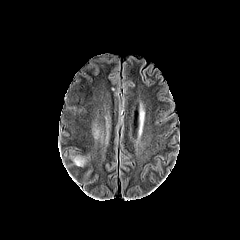
FLAIR MR image.
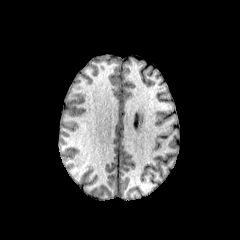
T1-weighted MRI of the same slice.
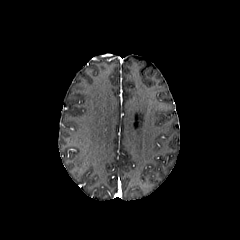
Post-contrast T1-weighted MR.
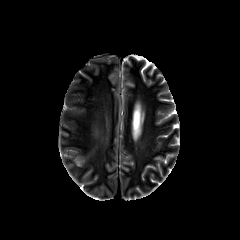
Same slice, T2-weighted MRI.
Head; Axial plane
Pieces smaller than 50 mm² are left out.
The largest peritumoral edema region is at <box>70,154,89,167</box>.